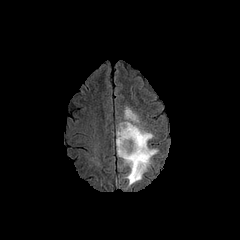
FLAIR magnetic resonance.
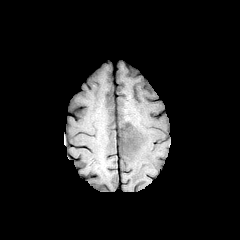
T1-weighted magnetic resonance.
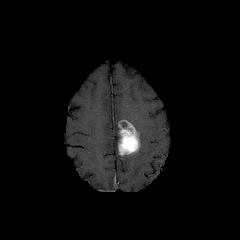
Post-contrast T1-weighted magnetic resonance.
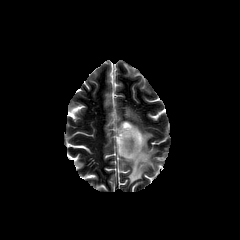
T2-weighted MR of the same slice.
Head; 240x240
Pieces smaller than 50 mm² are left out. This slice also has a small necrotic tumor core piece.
{"peritumoral_edema": ["box(118, 107, 158, 186)", "box(116, 127, 119, 152)"], "enhancing_tumor": ["box(118, 120, 140, 156)"]}